Head, Slice index 106, Image covers 240 mm x 240 mm, Axial plane
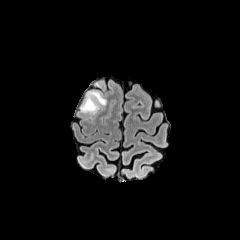
FLAIR MR image.
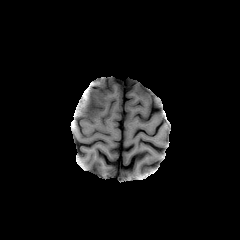
T1-weighted magnetic resonance.
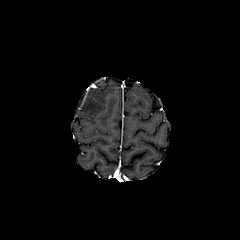
Post-contrast T1-weighted MR.
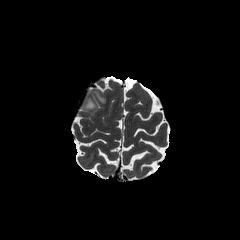
Same slice, T2-weighted magnetic resonance.
{
  "peritumoral_edema": [
    "rect(80, 91, 106, 114)"
  ]
}